Head. 240x240.
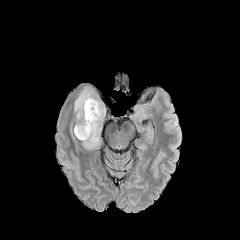
FLAIR MRI.
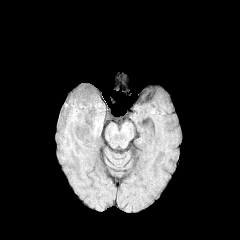
T1-weighted MR.
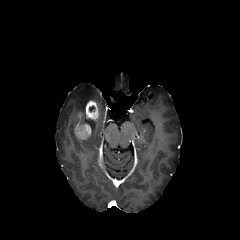
Post-contrast T1-weighted MRI.
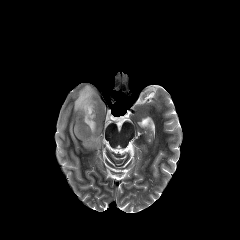
T2-weighted MRI.
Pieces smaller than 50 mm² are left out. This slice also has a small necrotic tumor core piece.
The 2 largest enhancing tumor regions are bounded by rect(74, 123, 91, 139); rect(85, 100, 99, 120). The largest peritumoral edema region is located at rect(74, 86, 105, 149).